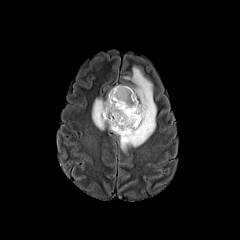
FLAIR MRI.
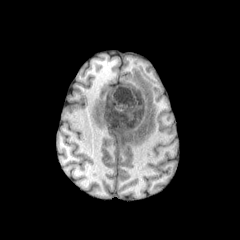
T1-weighted MR.
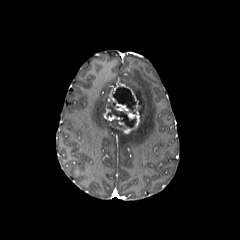
Post-contrast T1-weighted magnetic resonance.
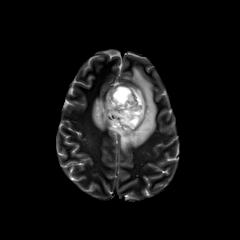
Same slice, T2-weighted magnetic resonance.
Axial slice, Brain
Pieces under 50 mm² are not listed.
The largest peritumoral edema region lies within rect(92, 67, 156, 150). 2 enhancing tumor regions are located at rect(103, 104, 122, 120); rect(108, 84, 139, 133). The largest necrotic tumor core region is at rect(107, 87, 136, 127).